FLAIR MR.
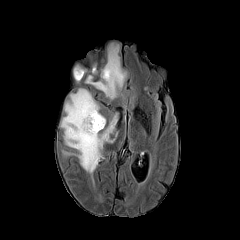
T1-weighted magnetic resonance.
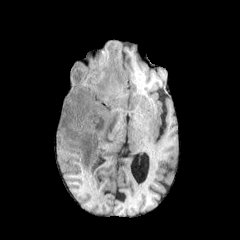
Post-contrast T1-weighted MR image.
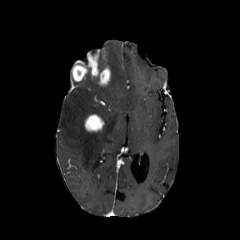
T2-weighted MRI.
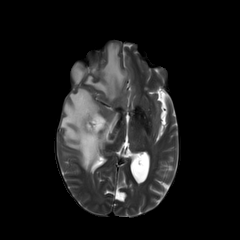
Brain.
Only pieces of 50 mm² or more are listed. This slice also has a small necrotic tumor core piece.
{
  "enhancing_tumor": [
    "(left=72, top=64, right=88, bottom=81)",
    "(left=84, top=114, right=104, bottom=131)",
    "(left=88, top=55, right=110, bottom=85)"
  ],
  "peritumoral_edema": [
    "(left=85, top=43, right=127, bottom=99)",
    "(left=60, top=88, right=117, bottom=173)"
  ]
}